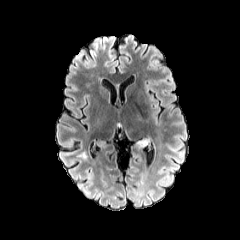
FLAIR magnetic resonance.
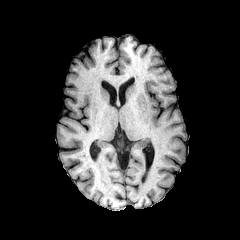
T1-weighted MR.
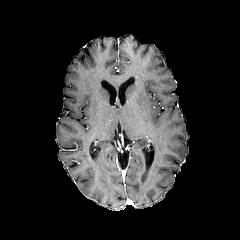
Post-contrast T1-weighted MRI.
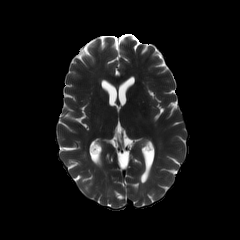
T2-weighted MRI.
Axial view, Head
peritumoral edema — 137, 137, 149, 147